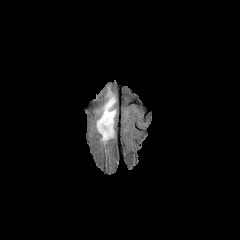
FLAIR MR image.
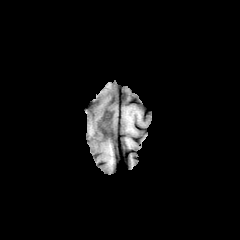
Same slice, T1-weighted MR.
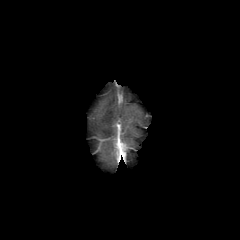
Post-contrast T1-weighted MRI.
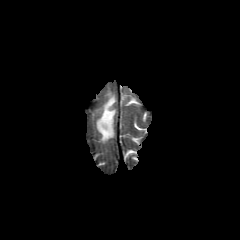
T2-weighted MR image.
Brain, Axial slice
peritumoral edema: box=[96, 90, 116, 142]